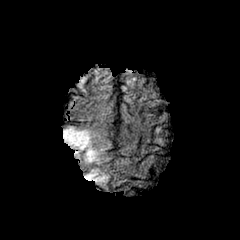
FLAIR MRI.
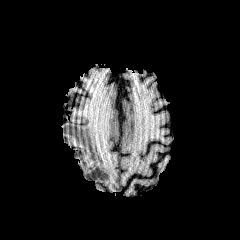
Same slice, T1-weighted MR.
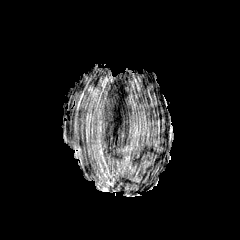
Post-contrast T1-weighted MR.
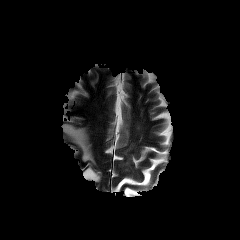
Same slice, T2-weighted MR image.
Axial slice; Brain; 240x240 px
peritumoral edema — 63 126 108 183